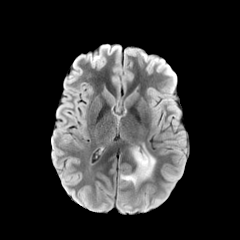
FLAIR magnetic resonance.
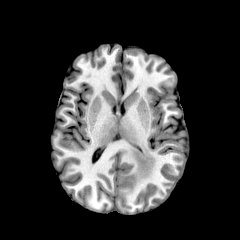
T1-weighted magnetic resonance of the same slice.
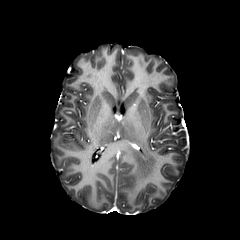
Post-contrast T1-weighted MR of the same slice.
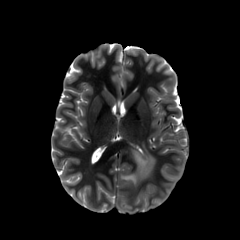
T2-weighted MR image of the same slice.
Head; Axial view
{"peritumoral_edema": ["box=[121, 148, 155, 185]"]}